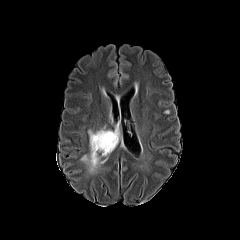
FLAIR MR image.
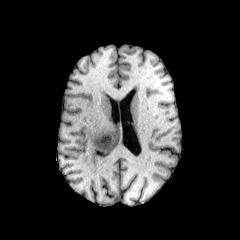
T1-weighted MR image.
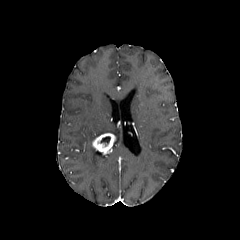
Post-contrast T1-weighted MR.
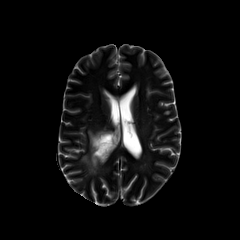
T2-weighted MRI.
Head. 240x240 px.
<segmentation>
  <enhancing_tumor>bbox(92, 133, 116, 153)</enhancing_tumor>
  <necrotic_tumor_core>bbox(100, 136, 110, 144)</necrotic_tumor_core>
  <peritumoral_edema>bbox(81, 125, 119, 173)</peritumoral_edema>
</segmentation>